FLAIR MR image.
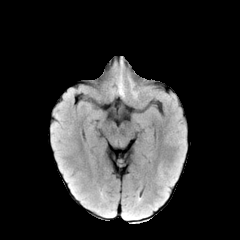
T1-weighted MRI.
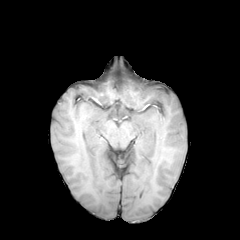
Post-contrast T1-weighted MR.
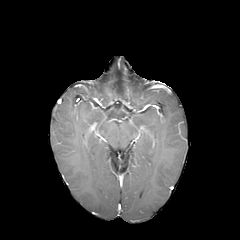
T2-weighted magnetic resonance.
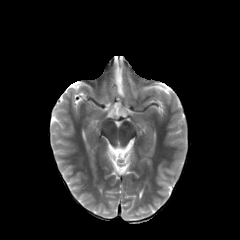
Axial view.
The peritumoral edema appears at bbox(117, 74, 123, 96).